FLAIR MR image.
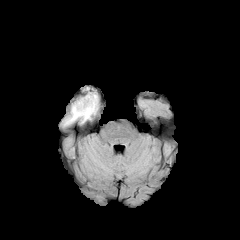
T1-weighted MRI.
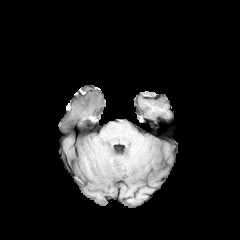
Post-contrast T1-weighted MR image.
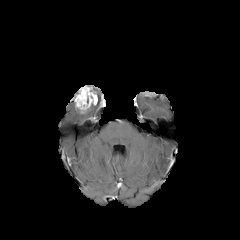
T2-weighted MR.
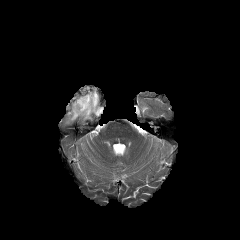
Axial slice.
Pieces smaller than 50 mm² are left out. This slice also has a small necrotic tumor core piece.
• peritumoral edema: [65, 97, 98, 124]
• enhancing tumor: [72, 85, 97, 113]